Brain | Axial slice
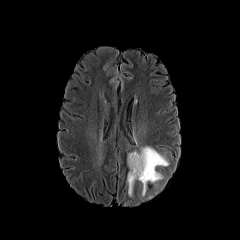
FLAIR magnetic resonance.
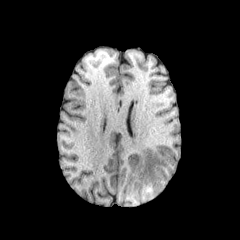
T1-weighted MRI of the same slice.
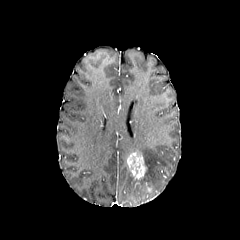
Same slice, post-contrast T1-weighted MR image.
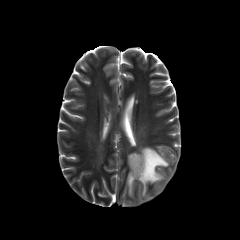
Same slice, T2-weighted MR.
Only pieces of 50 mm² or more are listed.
enhancing tumor at l=127, t=152, r=146, b=179
peritumoral edema at l=137, t=146, r=168, b=195; l=126, t=171, r=135, b=196